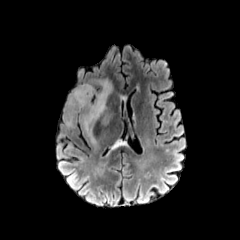
FLAIR MRI.
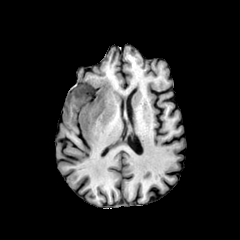
T1-weighted MR image of the same slice.
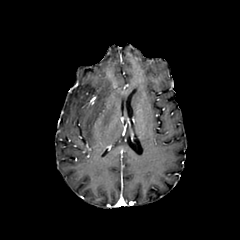
Post-contrast T1-weighted MR image.
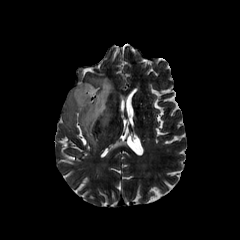
Same slice, T2-weighted MRI.
Head.
The peritumoral edema appears at rect(66, 78, 113, 143).